FLAIR MRI.
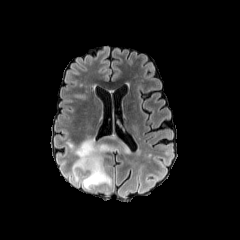
T1-weighted MRI.
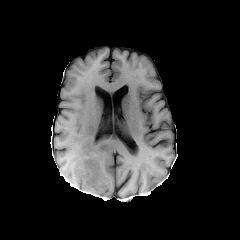
Post-contrast T1-weighted MR image.
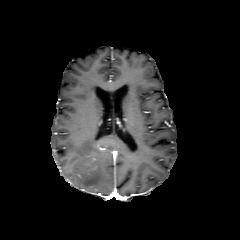
T2-weighted MRI.
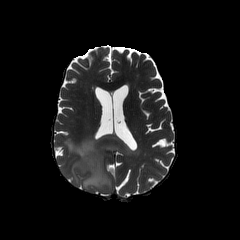
Head, Axial slice
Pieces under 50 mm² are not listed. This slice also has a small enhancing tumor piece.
The peritumoral edema is at left=66, top=133, right=131, bottom=189.